Image size 240x240
FLAIR magnetic resonance.
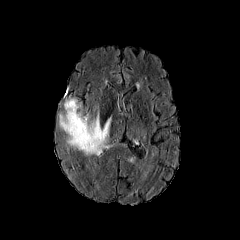
T1-weighted MR.
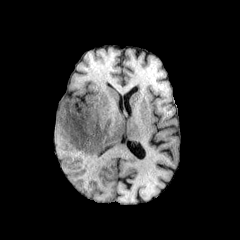
Post-contrast T1-weighted MR image.
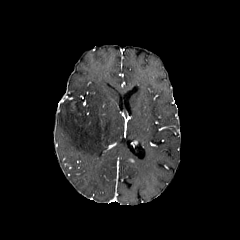
T2-weighted MR image.
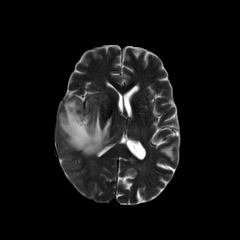
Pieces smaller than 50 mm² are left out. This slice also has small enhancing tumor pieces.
peritumoral edema: x1=59, y1=99, x2=111, y2=155